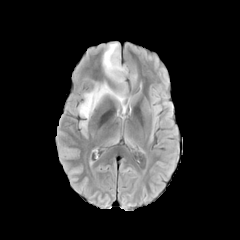
FLAIR MR image.
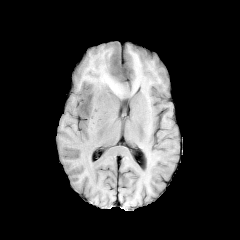
T1-weighted magnetic resonance of the same slice.
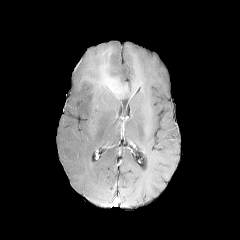
Post-contrast T1-weighted MR image.
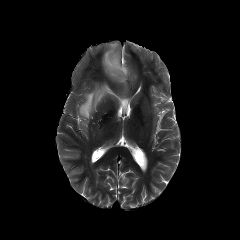
T2-weighted MR.
Head
Findings:
* peritumoral edema: <box>78,42,139,137</box>